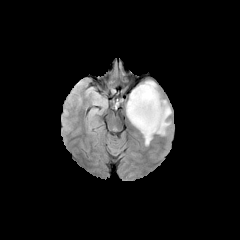
FLAIR MRI.
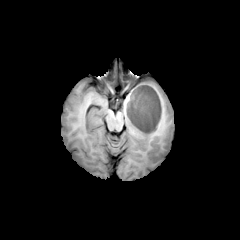
T1-weighted MR of the same slice.
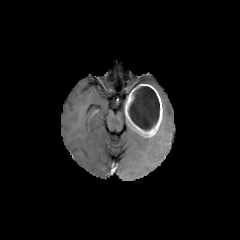
Post-contrast T1-weighted MR.
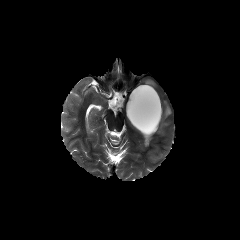
Same slice, T2-weighted magnetic resonance.
Axial slice
The enhancing tumor appears at rect(125, 84, 162, 137). The necrotic tumor core lies within rect(128, 86, 159, 130). 3 peritumoral edema regions are bounded by rect(144, 80, 156, 89); rect(144, 136, 152, 145); rect(156, 100, 171, 135).